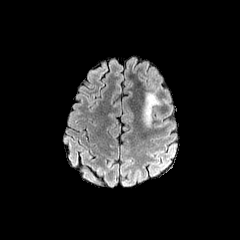
FLAIR magnetic resonance.
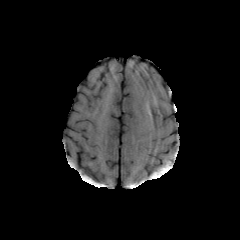
T1-weighted magnetic resonance of the same slice.
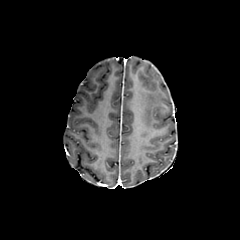
Post-contrast T1-weighted MR.
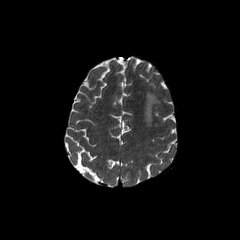
Same slice, T2-weighted magnetic resonance.
Brain
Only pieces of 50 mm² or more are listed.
{
  "peritumoral_edema": [
    {"x1": 141, "y1": 92, "x2": 160, "y2": 126}
  ]
}